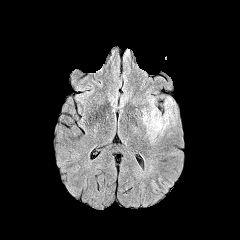
FLAIR MRI.
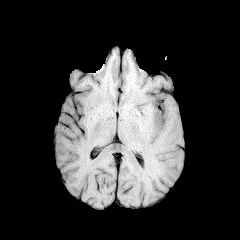
Same slice, T1-weighted MRI.
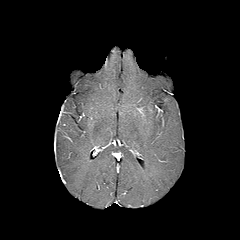
Post-contrast T1-weighted magnetic resonance.
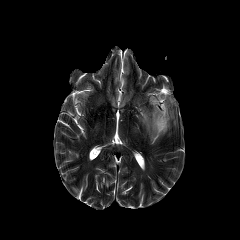
Same slice, T2-weighted magnetic resonance.
Head; Axial plane
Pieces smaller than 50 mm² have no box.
peritumoral edema: 141,97,174,141